FLAIR MR.
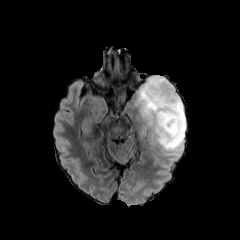
T1-weighted MR.
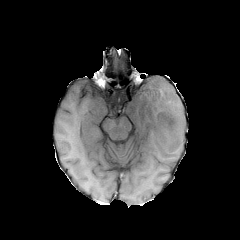
Post-contrast T1-weighted MRI.
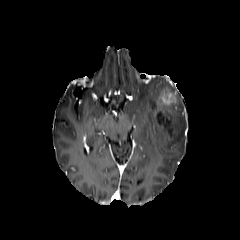
T2-weighted MR.
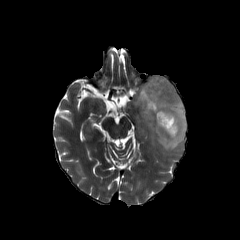
Brain.
enhancing tumor = [157,93,175,104], [154,114,175,136], [156,109,173,124]
peritumoral edema = [134,75,185,152]
necrotic tumor core = [156,111,173,134]